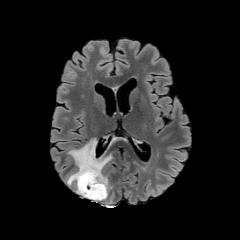
FLAIR MR.
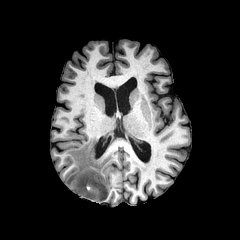
T1-weighted MR image.
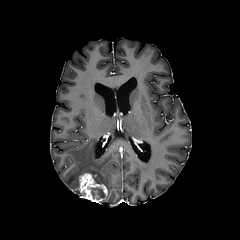
Post-contrast T1-weighted magnetic resonance.
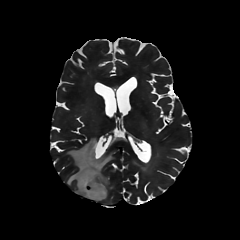
T2-weighted magnetic resonance.
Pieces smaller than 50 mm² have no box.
peritumoral_edema:
  - x1=64, y1=138, x2=112, y2=195
enhancing_tumor:
  - x1=79, y1=173, x2=107, y2=202
necrotic_tumor_core:
  - x1=91, y1=187, x2=104, y2=199